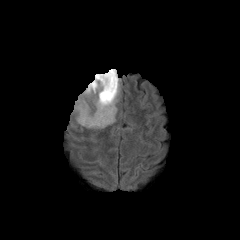
FLAIR MRI.
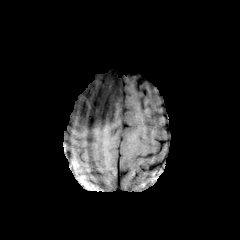
Same slice, T1-weighted MR image.
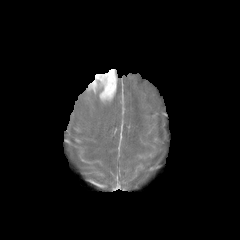
Post-contrast T1-weighted magnetic resonance.
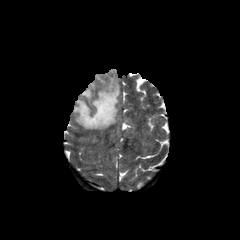
T2-weighted magnetic resonance.
Head | 240x240
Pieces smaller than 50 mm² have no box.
enhancing tumor at (x1=87, y1=69, x2=117, y2=102)
peritumoral edema at (x1=73, y1=78, x2=119, y2=129)